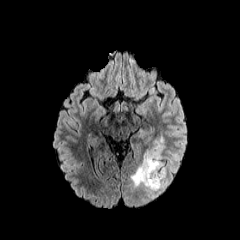
FLAIR MR.
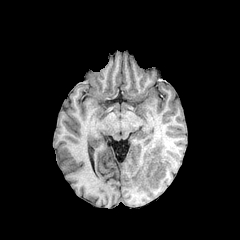
T1-weighted MR image of the same slice.
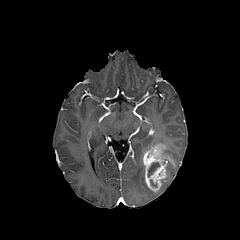
Post-contrast T1-weighted MR.
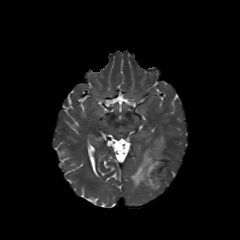
T2-weighted MR.
Head. Image size 240x240.
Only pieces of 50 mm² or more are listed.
{
  "necrotic_tumor_core": [
    "<bbox>147, 162, 160, 177</bbox>"
  ],
  "enhancing_tumor": [
    "<bbox>143, 144, 172, 191</bbox>"
  ],
  "peritumoral_edema": [
    "<bbox>149, 136, 165, 148</bbox>",
    "<bbox>130, 159, 161, 197</bbox>"
  ]
}